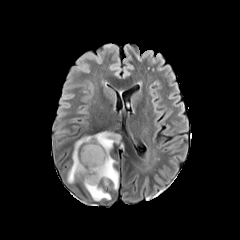
FLAIR MR image.
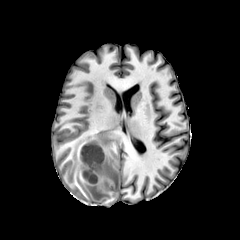
T1-weighted MR.
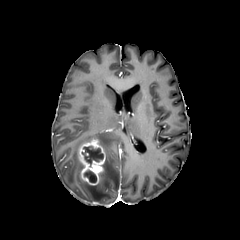
Post-contrast T1-weighted MR image.
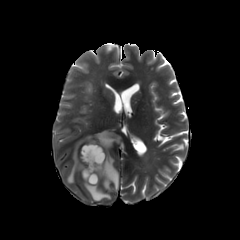
T2-weighted magnetic resonance.
Image size 240x240; Brain
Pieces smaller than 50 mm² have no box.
enhancing tumor: (79,139,105,185)
peritumoral edema: (84,181,111,200), (67,131,120,189)
necrotic tumor core: (82,146,103,166), (84,170,96,182)